FLAIR MR image.
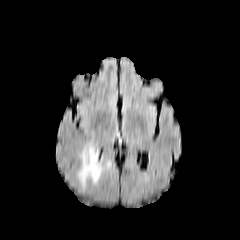
T1-weighted MRI.
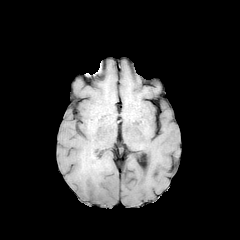
Post-contrast T1-weighted MR.
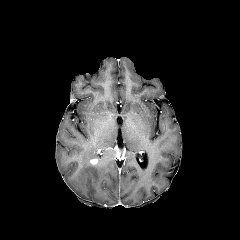
T2-weighted MRI.
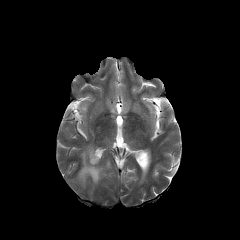
240x240 | Head | Axial view
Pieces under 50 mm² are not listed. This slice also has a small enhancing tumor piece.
Segmented structures:
* peritumoral edema: box(78, 146, 118, 187)